FLAIR magnetic resonance.
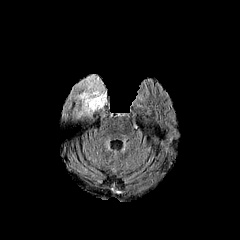
T1-weighted magnetic resonance.
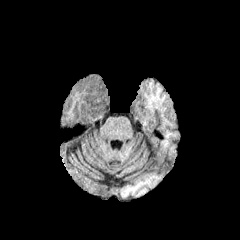
Post-contrast T1-weighted MR.
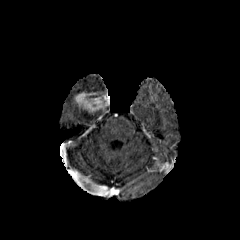
T2-weighted MR.
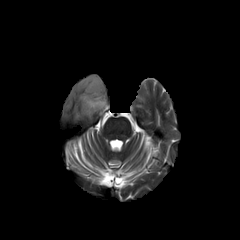
Head. Image size 240x240. Axial plane.
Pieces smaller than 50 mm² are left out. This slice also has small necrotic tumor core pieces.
peritumoral edema: [76, 75, 106, 92]
enhancing tumor: [75, 92, 109, 112]